Brain. 240x240 px. Image covers 240 mm x 240 mm.
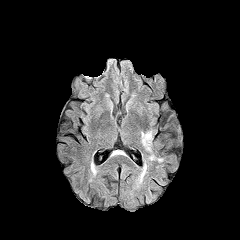
FLAIR MR image.
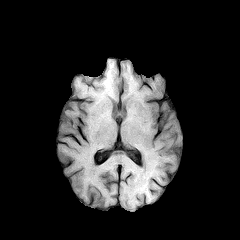
T1-weighted MR image.
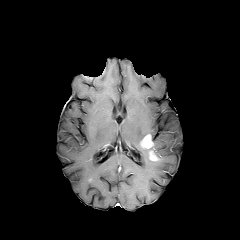
Post-contrast T1-weighted MR.
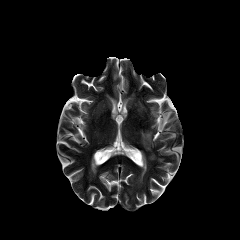
T2-weighted MR image of the same slice.
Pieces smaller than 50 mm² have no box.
The largest peritumoral edema region is located at left=141, top=130, right=152, bottom=141. The 2 largest enhancing tumor regions are located at left=150, top=152, right=158, bottom=160; left=141, top=134, right=153, bottom=148.